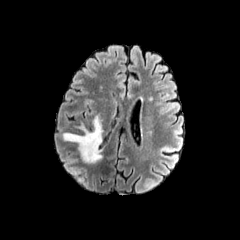
FLAIR MR.
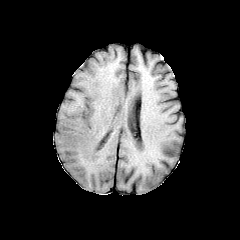
T1-weighted MR.
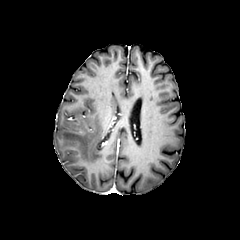
Same slice, post-contrast T1-weighted MRI.
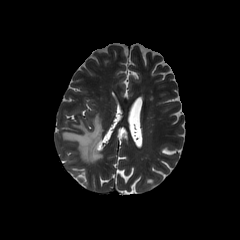
Same slice, T2-weighted MRI.
peritumoral_edema:
  - box(62, 115, 102, 163)